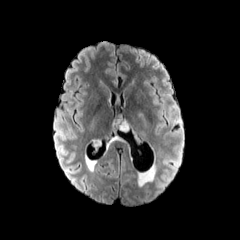
FLAIR MR image.
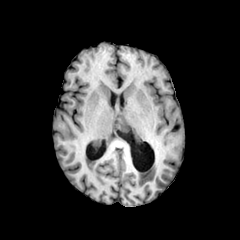
Same slice, T1-weighted MRI.
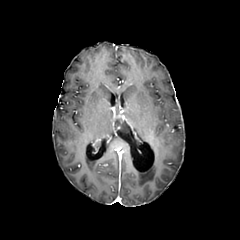
Post-contrast T1-weighted MRI.
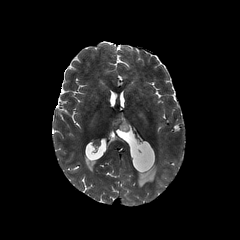
T2-weighted MR image of the same slice.
240x240
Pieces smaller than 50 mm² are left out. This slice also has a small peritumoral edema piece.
The largest enhancing tumor region lies within 113:111:129:130. The largest necrotic tumor core region is at 121:121:129:132.